Image width 240 mm | Axial slice
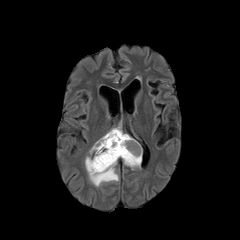
FLAIR MR.
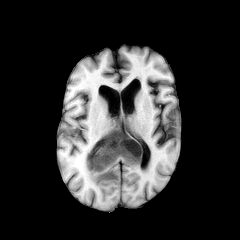
T1-weighted MR of the same slice.
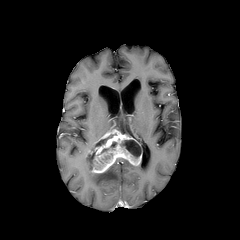
Post-contrast T1-weighted MR image.
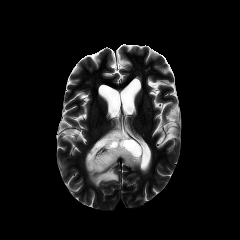
T2-weighted MRI.
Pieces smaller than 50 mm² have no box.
The enhancing tumor lies within <bbox>85, 129, 142, 173</bbox>. The 3 largest peritumoral edema regions are located at <bbox>123, 159, 140, 169</bbox>, <bbox>87, 159, 119, 186</bbox>, <bbox>111, 120, 123, 133</bbox>. The 3 largest necrotic tumor core regions appear at <bbox>89, 151, 95, 169</bbox>, <bbox>121, 140, 141, 158</bbox>, <bbox>96, 135, 112, 146</bbox>.